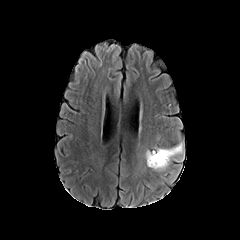
FLAIR MR.
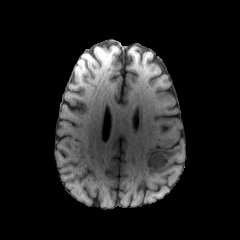
Same slice, T1-weighted MR image.
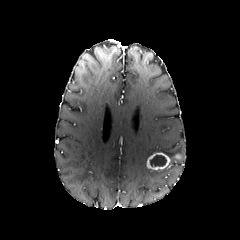
Post-contrast T1-weighted MR image of the same slice.
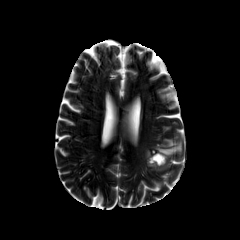
Same slice, T2-weighted MR image.
Brain
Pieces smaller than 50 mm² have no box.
peritumoral edema = bbox=[144, 130, 185, 162]
enhancing tumor = bbox=[147, 152, 170, 169]
necrotic tumor core = bbox=[150, 155, 166, 166]